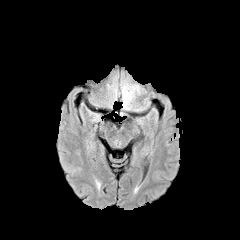
FLAIR MRI.
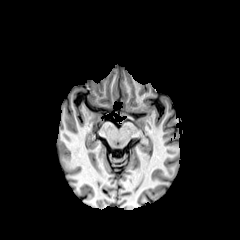
T1-weighted MRI.
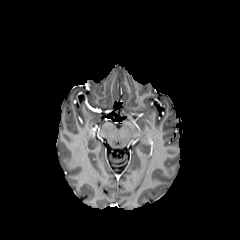
Post-contrast T1-weighted MRI of the same slice.
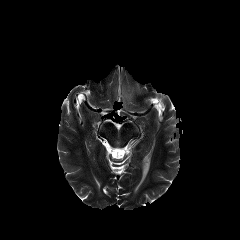
T2-weighted MR of the same slice.
Brain | Axial plane
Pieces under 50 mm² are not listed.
<segmentation>
  <peritumoral_edema>122, 85, 138, 108</peritumoral_edema>
</segmentation>